Axial plane. Brain. Slice index 67.
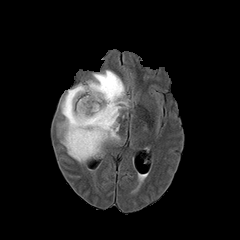
FLAIR MR.
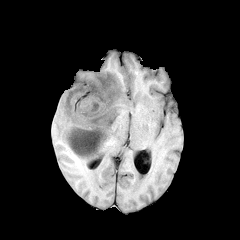
T1-weighted MR of the same slice.
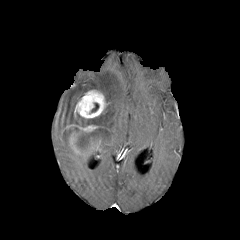
Post-contrast T1-weighted MR image of the same slice.
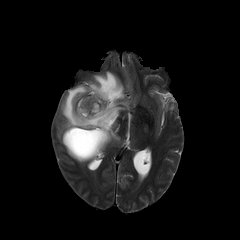
T2-weighted MR of the same slice.
Annotated regions:
* enhancing tumor: l=74, t=89, r=107, b=118; l=66, t=124, r=104, b=159
* necrotic tumor core: l=87, t=103, r=98, b=114
* peritumoral edema: l=58, t=70, r=129, b=163